Head, Axial view, Image width 240 mm
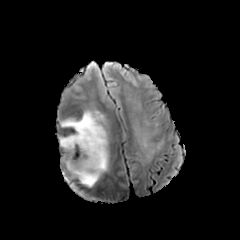
FLAIR MR image.
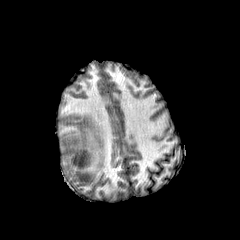
T1-weighted magnetic resonance of the same slice.
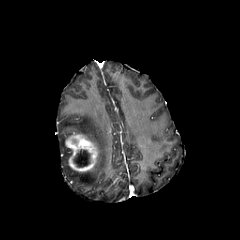
Same slice, post-contrast T1-weighted magnetic resonance.
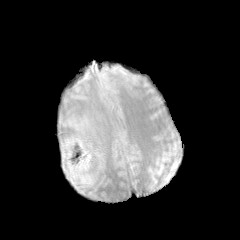
T2-weighted magnetic resonance.
<segmentation>
  <peritumoral_edema>x1=59, y1=137, x2=67, y2=151; x1=60, y1=109, x2=108, y2=187</peritumoral_edema>
  <necrotic_tumor_core>x1=64, y1=148, x2=72, y2=158; x1=74, y1=150, x2=89, y2=166</necrotic_tumor_core>
  <enhancing_tumor>x1=65, y1=133, x2=98, y2=171</enhancing_tumor>
</segmentation>